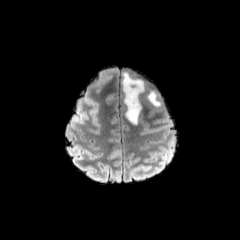
FLAIR magnetic resonance.
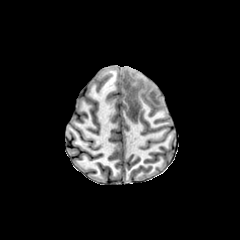
T1-weighted MR image of the same slice.
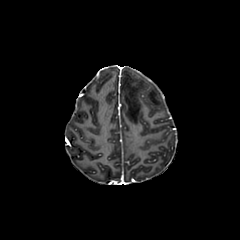
Post-contrast T1-weighted magnetic resonance.
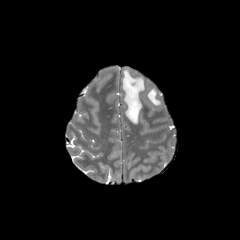
Same slice, T2-weighted MR image.
240x240, Brain, Axial view
peritumoral_edema:
  - [123,71,144,124]
  - [148,90,160,106]